Image size 240x240, Brain, Axial slice
FLAIR MR.
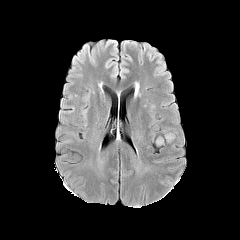
T1-weighted magnetic resonance.
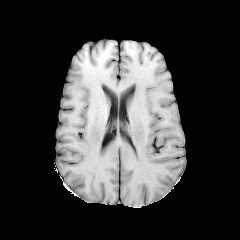
Post-contrast T1-weighted MR.
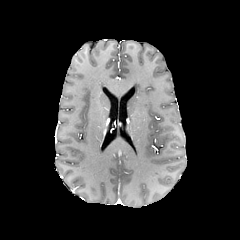
T2-weighted MR.
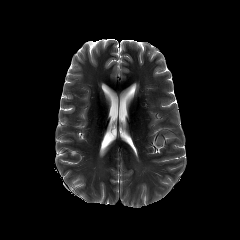
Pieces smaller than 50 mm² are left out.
The largest peritumoral edema region is located at {"x1": 165, "y1": 133, "x2": 173, "y2": 140}.